Head
FLAIR MR.
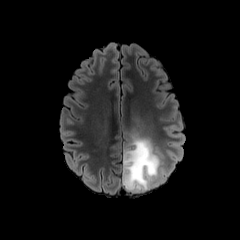
T1-weighted magnetic resonance.
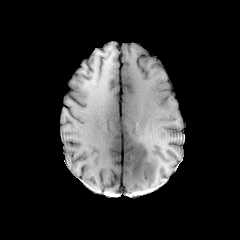
Post-contrast T1-weighted MR image.
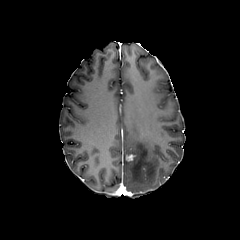
T2-weighted magnetic resonance.
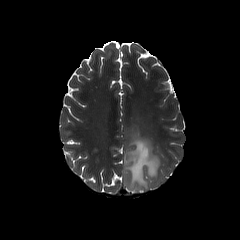
Segmented structures:
* enhancing tumor: [x1=126, y1=154, x2=134, y2=161]
* peritumoral edema: [x1=122, y1=133, x2=165, y2=193]